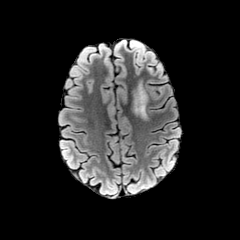
FLAIR magnetic resonance.
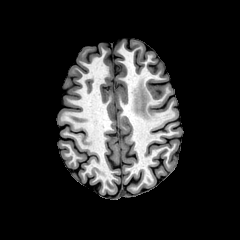
T1-weighted magnetic resonance.
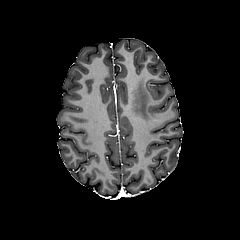
Post-contrast T1-weighted MRI of the same slice.
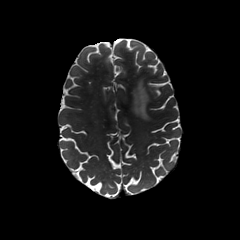
Same slice, T2-weighted MRI.
Axial view.
peritumoral edema at <box>132,82,148,119</box>